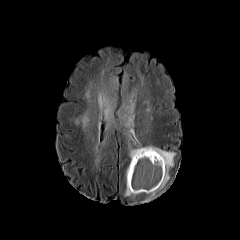
FLAIR MR.
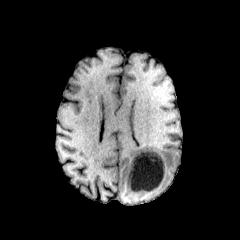
Same slice, T1-weighted magnetic resonance.
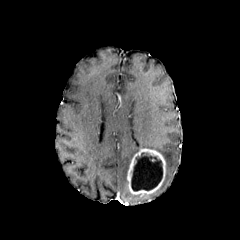
Post-contrast T1-weighted MR.
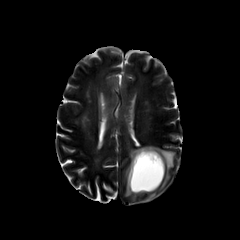
Same slice, T2-weighted MR image.
Axial plane. 240x240 px.
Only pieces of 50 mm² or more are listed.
peritumoral edema = [118, 105, 175, 198], [125, 167, 135, 196], [104, 100, 113, 129]
necrotic tumor core = [131, 153, 162, 191]
enhancing tumor = [127, 148, 165, 194]